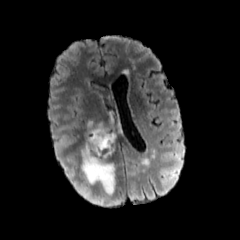
FLAIR MR image.
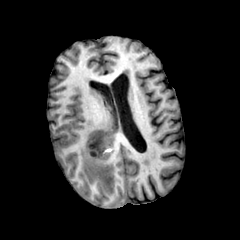
T1-weighted magnetic resonance.
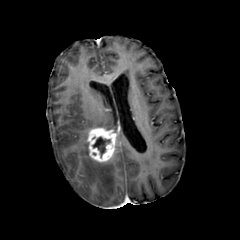
Post-contrast T1-weighted MR image.
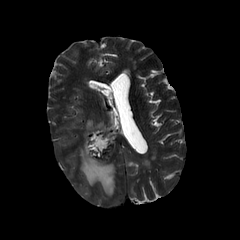
T2-weighted MR image of the same slice.
Axial plane; Image size 240x240
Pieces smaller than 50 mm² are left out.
enhancing tumor: left=87, top=128, right=116, bottom=162
peritumoral edema: left=81, top=140, right=115, bottom=195
necrotic tumor core: left=93, top=137, right=110, bottom=156